Head, 240x240 px
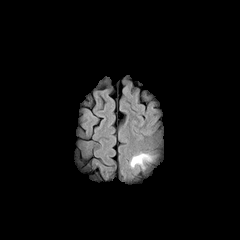
FLAIR magnetic resonance.
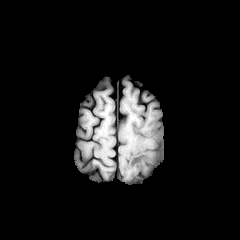
T1-weighted MRI of the same slice.
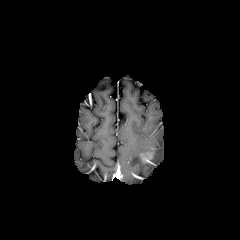
Post-contrast T1-weighted MR image.
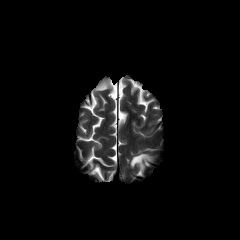
T2-weighted MR.
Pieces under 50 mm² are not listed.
peritumoral edema: box=[130, 152, 151, 169] | enhancing tumor: box=[141, 154, 151, 161]